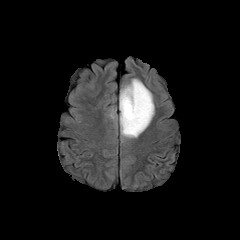
FLAIR MR image.
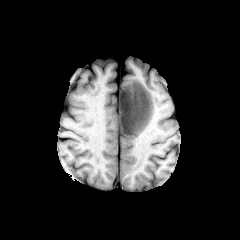
T1-weighted magnetic resonance.
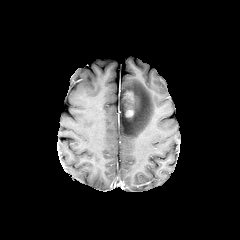
Post-contrast T1-weighted MR of the same slice.
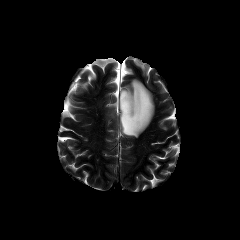
T2-weighted MR image of the same slice.
<segmentation>
  <peritumoral_edema>rect(119, 78, 154, 138)</peritumoral_edema>
  <enhancing_tumor>rect(124, 92, 134, 117)</enhancing_tumor>
</segmentation>